FLAIR magnetic resonance.
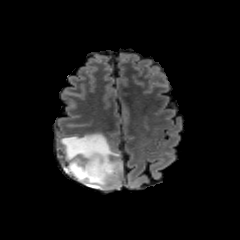
T1-weighted MR.
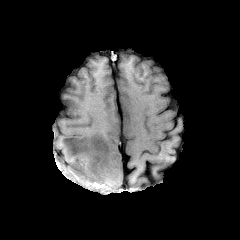
Post-contrast T1-weighted MR image.
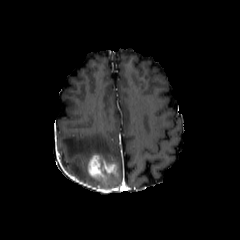
T2-weighted MR.
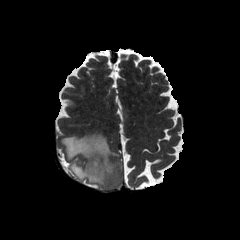
Image size 240x240; Axial view; Head
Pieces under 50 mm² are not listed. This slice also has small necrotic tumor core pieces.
<segmentation>
  <enhancing_tumor>87,154,117,179</enhancing_tumor>
  <peritumoral_edema>60,133,123,188</peritumoral_edema>
</segmentation>